FLAIR MR.
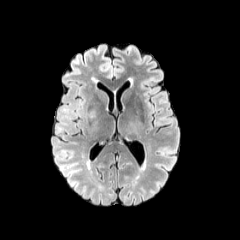
T1-weighted magnetic resonance.
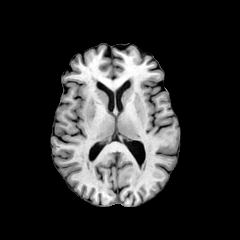
Post-contrast T1-weighted MR.
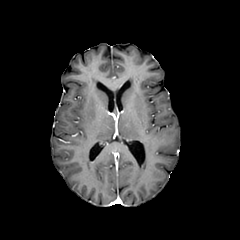
T2-weighted MRI.
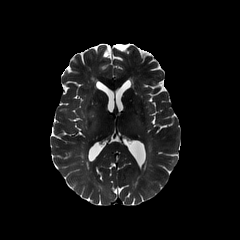
Axial slice
The peritumoral edema is located at <bbox>88, 109, 96, 118</bbox>.